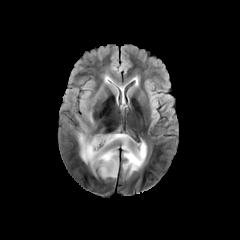
FLAIR MR.
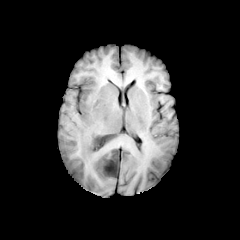
Same slice, T1-weighted MRI.
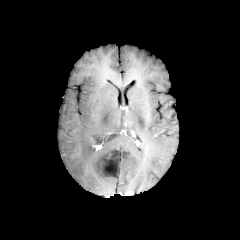
Post-contrast T1-weighted magnetic resonance.
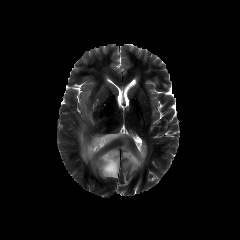
T2-weighted MRI.
Head, 240x240
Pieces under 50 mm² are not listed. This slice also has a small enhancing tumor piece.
The largest necrotic tumor core region is bounded by {"x1": 103, "y1": 151, "x2": 118, "y2": 175}. The largest peritumoral edema region is located at {"x1": 78, "y1": 131, "x2": 146, "y2": 178}.